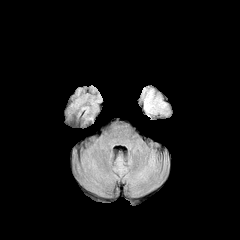
FLAIR MRI.
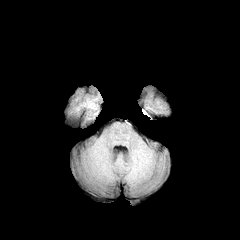
Same slice, T1-weighted MRI.
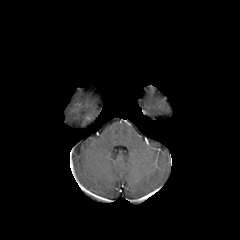
Post-contrast T1-weighted MR.
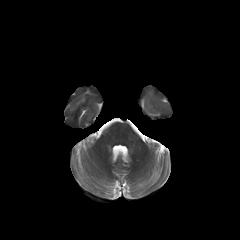
T2-weighted MRI.
Brain | Image size 240x240
{"peritumoral_edema": ["l=141, t=86, r=168, b=115"]}